FLAIR MRI.
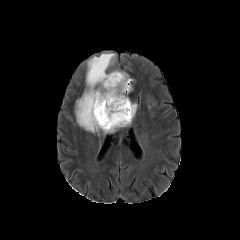
T1-weighted MR.
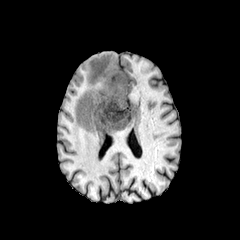
Post-contrast T1-weighted MR image.
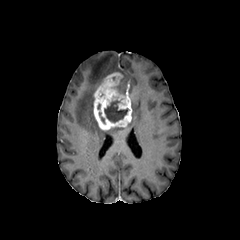
T2-weighted magnetic resonance.
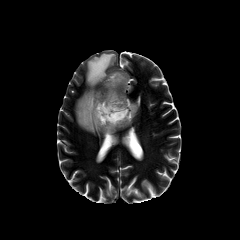
Axial slice | Image size 240x240
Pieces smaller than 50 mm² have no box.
The enhancing tumor is located at [93, 72, 132, 130]. The 3 largest peritumoral edema regions are bounded by [76, 53, 115, 132], [131, 103, 137, 118], [119, 72, 132, 84]. The 2 largest necrotic tumor core regions appear at [104, 100, 127, 122], [117, 78, 126, 94].